FLAIR MRI.
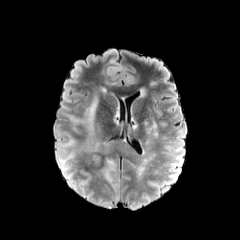
T1-weighted magnetic resonance.
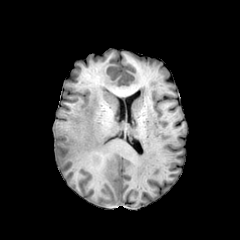
Post-contrast T1-weighted MR.
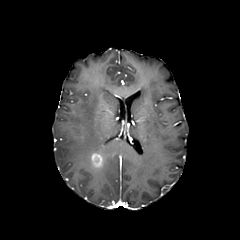
T2-weighted MRI.
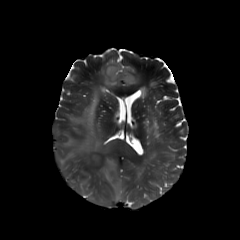
Head. Axial plane.
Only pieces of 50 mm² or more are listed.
peritumoral edema at rect(69, 96, 100, 151); rect(102, 158, 115, 181); rect(62, 138, 74, 146); rect(57, 151, 74, 175); rect(129, 128, 138, 140)
enhancing tumor at rect(91, 153, 102, 167)